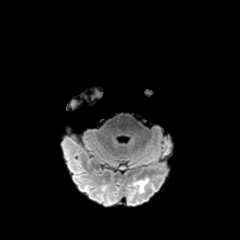
FLAIR MRI.
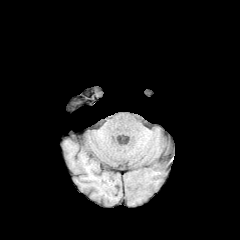
T1-weighted magnetic resonance.
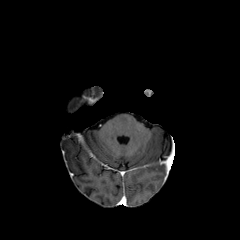
Same slice, post-contrast T1-weighted MRI.
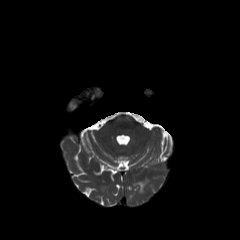
T2-weighted MR image.
Head.
Annotated regions:
* peritumoral edema: l=138, t=180, r=146, b=192